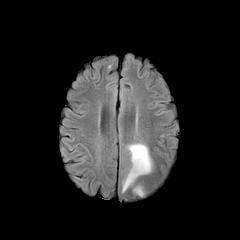
FLAIR MRI.
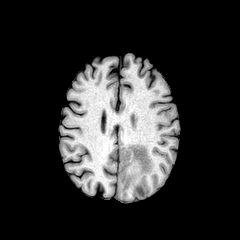
T1-weighted magnetic resonance.
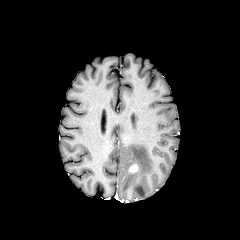
Post-contrast T1-weighted MRI.
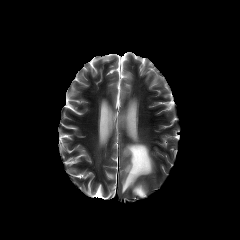
T2-weighted MRI of the same slice.
2 peritumoral edema regions are bounded by bbox(133, 185, 145, 196); bbox(122, 143, 152, 192). The enhancing tumor is at bbox(129, 164, 138, 172).